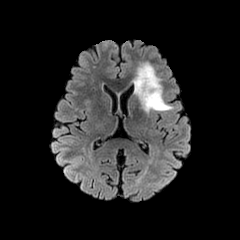
FLAIR MR.
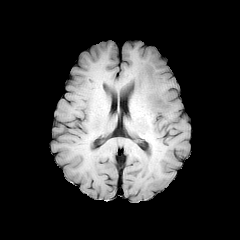
Same slice, T1-weighted magnetic resonance.
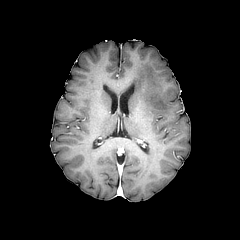
Post-contrast T1-weighted MRI.
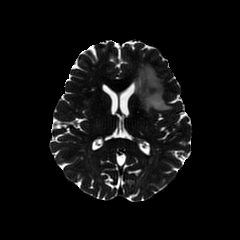
T2-weighted magnetic resonance of the same slice.
Head, Axial view
peritumoral edema: bounding box <bbox>134, 63, 172, 112</bbox>